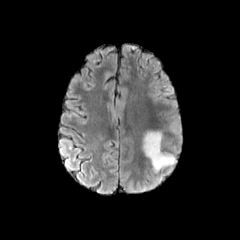
FLAIR magnetic resonance.
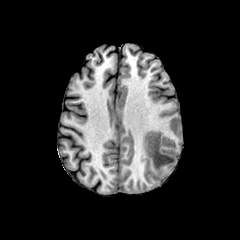
T1-weighted MR.
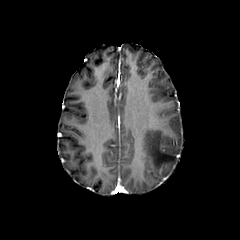
Post-contrast T1-weighted MR image of the same slice.
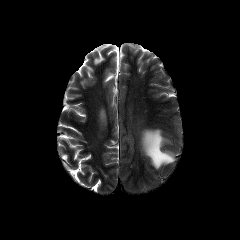
T2-weighted magnetic resonance.
Head. 240x240 px.
The peritumoral edema is at bbox(142, 132, 175, 170).